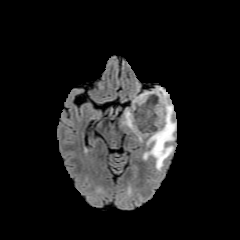
FLAIR MR image.
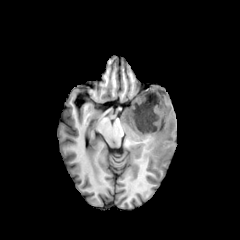
Same slice, T1-weighted MRI.
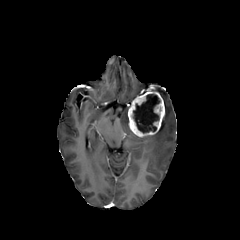
Same slice, post-contrast T1-weighted MR.
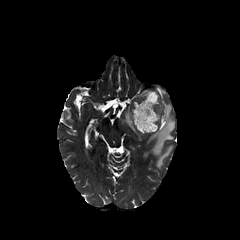
Same slice, T2-weighted magnetic resonance.
Brain. Axial slice.
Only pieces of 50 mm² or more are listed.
{"necrotic_tumor_core": ["<box>133,94,160,132</box>"], "peritumoral_edema": ["<box>143,87,176,170</box>", "<box>122,109,128,126</box>"], "enhancing_tumor": ["<box>128,90,164,136</box>"]}